Image size 240x240. Axial slice.
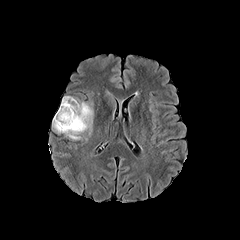
FLAIR MRI.
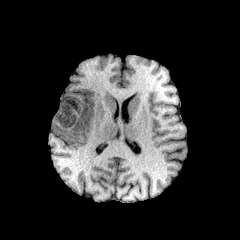
T1-weighted MR image of the same slice.
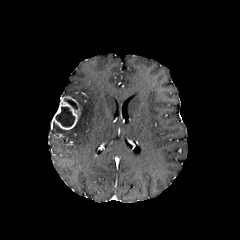
Post-contrast T1-weighted MR image.
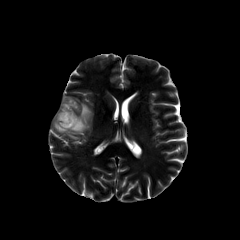
T2-weighted MR image.
enhancing tumor at [x1=53, y1=96, x2=80, y2=129]
necrotic tumor core at [x1=55, y1=107, x2=74, y2=126], [x1=65, y1=99, x2=77, y2=109]
peritumoral edema at [x1=53, y1=99, x2=93, y2=139]